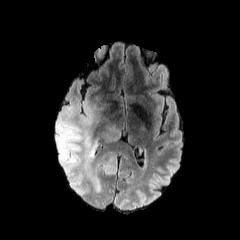
FLAIR MR image.
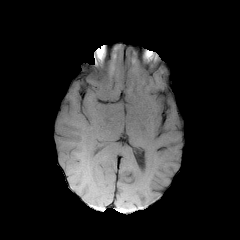
T1-weighted MR.
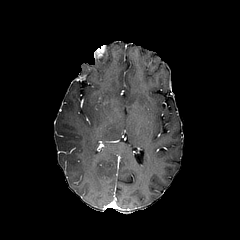
Post-contrast T1-weighted MR image of the same slice.
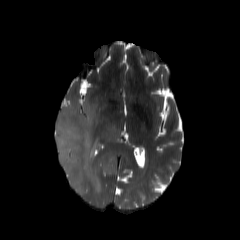
Same slice, T2-weighted MR image.
Head
<segmentation>
  <peritumoral_edema>rect(55, 100, 115, 195); rect(103, 125, 121, 141)</peritumoral_edema>
</segmentation>